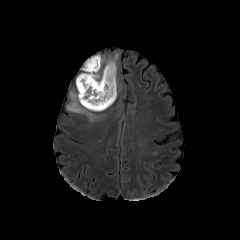
FLAIR MR image.
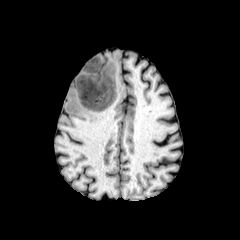
Same slice, T1-weighted magnetic resonance.
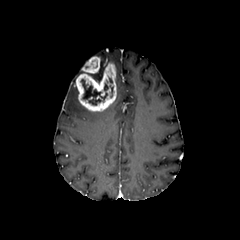
Same slice, post-contrast T1-weighted MR.
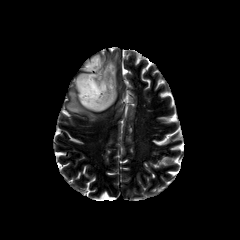
T2-weighted MRI of the same slice.
Axial slice. Head. 240x240.
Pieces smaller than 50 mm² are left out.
The 2 largest enhancing tumor regions are bounded by box(82, 56, 100, 73); box(76, 63, 116, 111). The 2 largest peritumoral edema regions appear at box(86, 52, 118, 94); box(67, 90, 99, 121). The 2 largest necrotic tumor core regions appear at box(104, 83, 113, 97); box(81, 79, 107, 105).